Image width 240 mm, 1.00 mm slice spacing. Image size 240x240. Head.
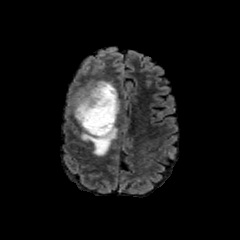
FLAIR MR.
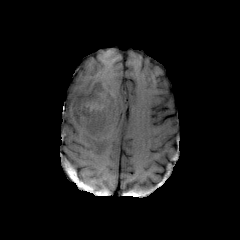
T1-weighted MRI of the same slice.
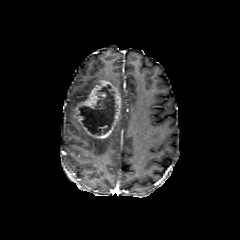
Post-contrast T1-weighted magnetic resonance.
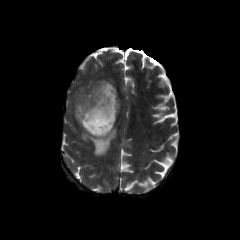
T2-weighted MR image.
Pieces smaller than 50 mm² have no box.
Findings:
• necrotic tumor core: region(79, 84, 116, 134)
• enhancing tumor: region(75, 80, 120, 139)
• peritumoral edema: region(68, 79, 98, 115); region(80, 126, 117, 156)